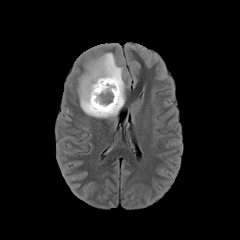
FLAIR magnetic resonance.
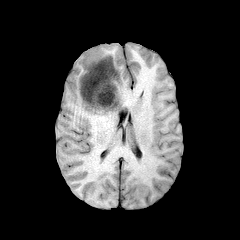
T1-weighted magnetic resonance.
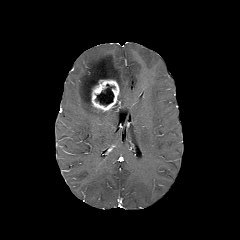
Post-contrast T1-weighted magnetic resonance.
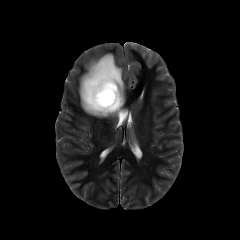
Same slice, T2-weighted magnetic resonance.
Image size 240x240, Head
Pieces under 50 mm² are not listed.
{
  "enhancing_tumor": [
    "(x1=91, y1=79, x2=120, y2=112)"
  ],
  "necrotic_tumor_core": [
    "(x1=95, y1=84, x2=114, y2=105)"
  ],
  "peritumoral_edema": [
    "(x1=78, y1=53, x2=125, y2=118)"
  ]
}